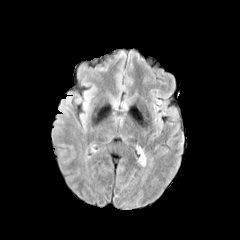
FLAIR MRI.
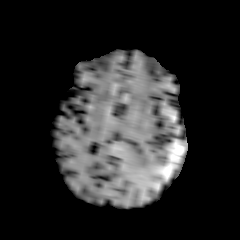
T1-weighted MRI of the same slice.
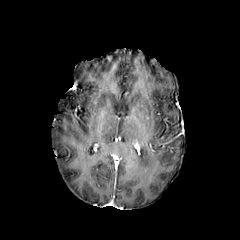
Same slice, post-contrast T1-weighted MR.
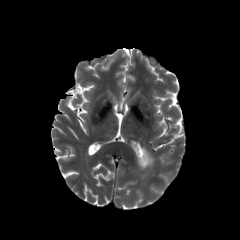
T2-weighted MR image of the same slice.
Axial slice
peritumoral edema = 138 148 152 168